FLAIR MR image.
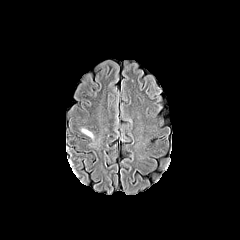
T1-weighted MR.
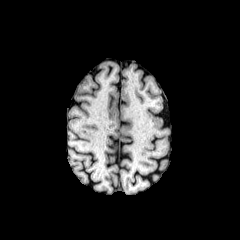
Post-contrast T1-weighted magnetic resonance.
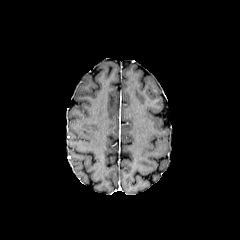
T2-weighted MR.
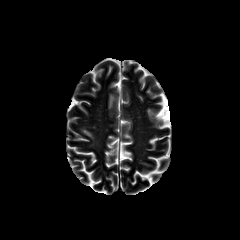
Head. Axial plane.
Segmented structures:
- peritumoral edema: {"x1": 82, "y1": 129, "x2": 93, "y2": 139}